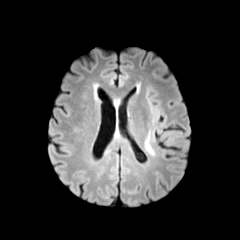
FLAIR MR.
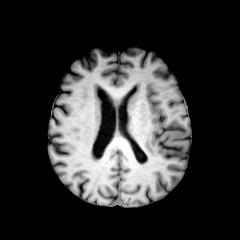
Same slice, T1-weighted magnetic resonance.
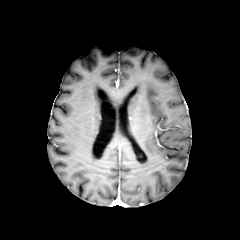
Post-contrast T1-weighted magnetic resonance of the same slice.
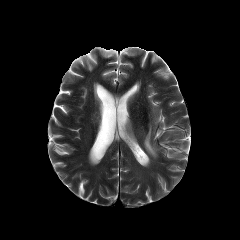
Same slice, T2-weighted MR.
The peritumoral edema is bounded by [145,133,155,155].